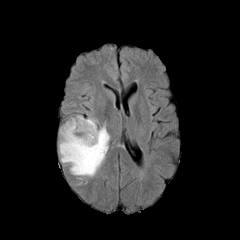
FLAIR MR.
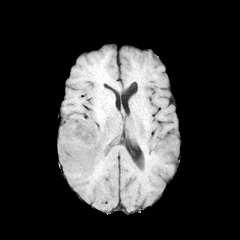
T1-weighted MR.
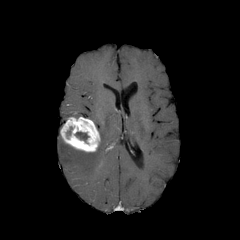
Post-contrast T1-weighted MR of the same slice.
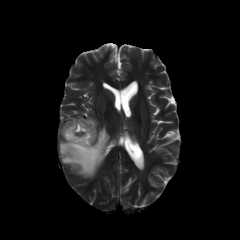
T2-weighted magnetic resonance of the same slice.
Axial plane; Head
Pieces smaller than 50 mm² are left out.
enhancing tumor: left=60, top=116, right=100, bottom=152
peritumoral edema: left=59, top=125, right=110, bottom=177
necrotic tumor core: left=75, top=132, right=88, bottom=140